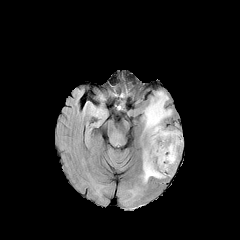
FLAIR MR.
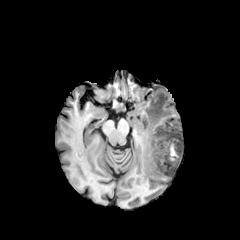
T1-weighted magnetic resonance.
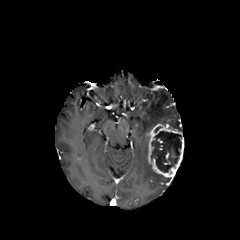
Post-contrast T1-weighted MR.
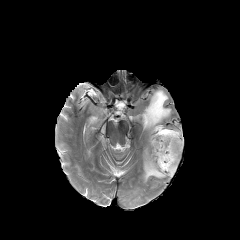
Same slice, T2-weighted MRI.
Axial slice, Brain
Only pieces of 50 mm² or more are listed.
Annotated regions:
• peritumoral edema: l=143, t=146, r=165, b=182; l=143, t=91, r=171, b=131
• enhancing tumor: l=147, t=123, r=183, b=177
• necrotic tumor core: l=151, t=131, r=181, b=172